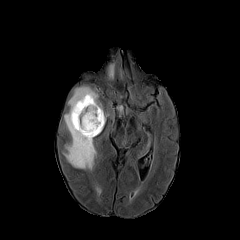
FLAIR MRI.
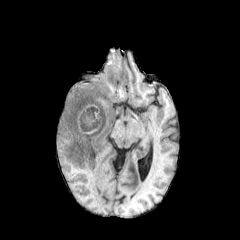
Same slice, T1-weighted magnetic resonance.
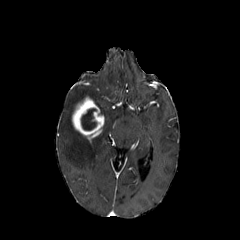
Post-contrast T1-weighted magnetic resonance.
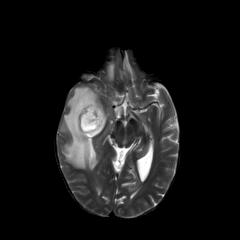
Same slice, T2-weighted MRI.
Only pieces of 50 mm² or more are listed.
peritumoral edema: bounding box 108, 63, 114, 79; 62, 86, 108, 169
enhancing tumor: bounding box 72, 96, 104, 140
necrotic tumor core: bounding box 81, 108, 96, 130